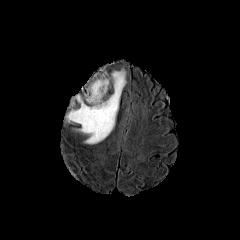
FLAIR MRI.
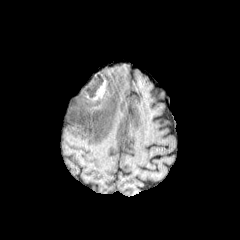
T1-weighted magnetic resonance of the same slice.
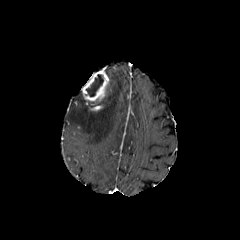
Post-contrast T1-weighted MRI.
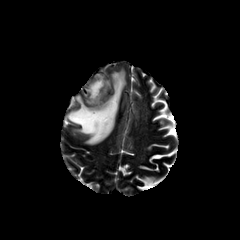
T2-weighted MR.
Head, Axial view
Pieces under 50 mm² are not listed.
peritumoral edema: <bbox>66, 69, 126, 144</bbox> | enhancing tumor: <bbox>81, 70, 109, 102</bbox>, <bbox>90, 105, 102, 111</bbox> | necrotic tumor core: <bbox>86, 74, 103, 96</bbox>